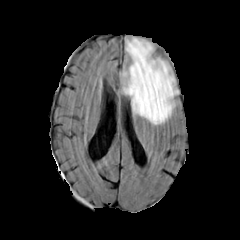
FLAIR MR.
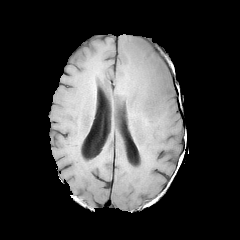
Same slice, T1-weighted MR image.
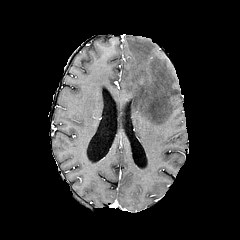
Post-contrast T1-weighted magnetic resonance.
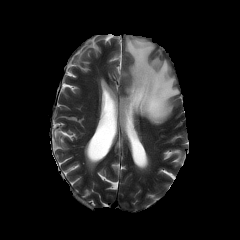
T2-weighted magnetic resonance.
peritumoral edema: (x1=121, y1=37, x2=176, y2=124)